FLAIR MRI.
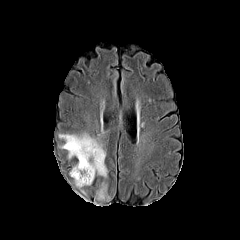
T1-weighted MR image.
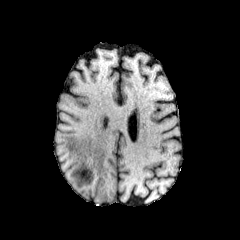
Post-contrast T1-weighted MR.
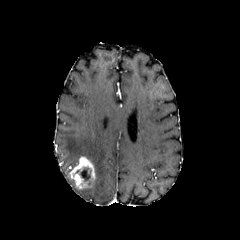
T2-weighted MR image.
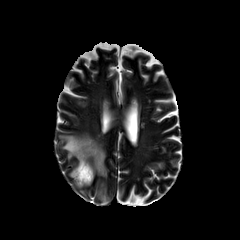
Image size 240x240 | Axial plane
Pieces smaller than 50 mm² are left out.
necrotic tumor core: 80,168,90,181 | enhancing tumor: 69,156,95,188 | peritumoral edema: 96,182,110,200; 59,133,108,177